Axial plane, Image width 240 mm, 1.00 mm slice spacing, 240x240 px, Brain
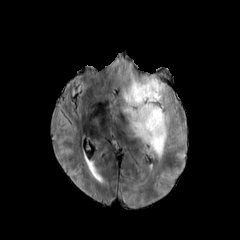
FLAIR magnetic resonance.
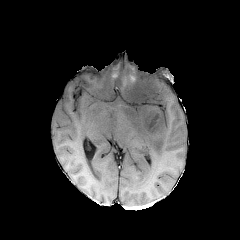
T1-weighted magnetic resonance of the same slice.
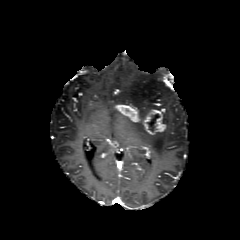
Post-contrast T1-weighted MR.
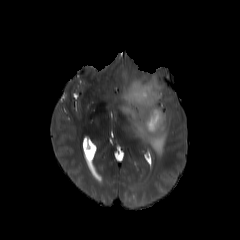
T2-weighted MR of the same slice.
2 peritumoral edema regions appear at box(126, 110, 170, 158); box(118, 73, 168, 118). The necrotic tumor core lies within box(147, 114, 159, 131). The enhancing tumor is bounded by box(116, 105, 166, 134).